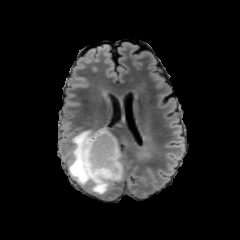
FLAIR magnetic resonance.
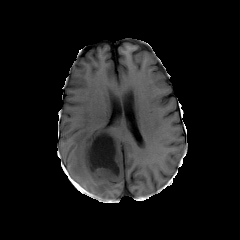
T1-weighted MR image.
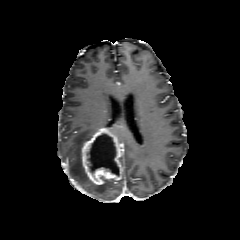
Same slice, post-contrast T1-weighted MR image.
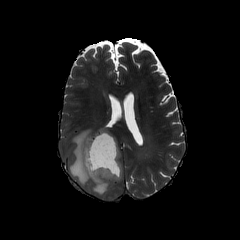
T2-weighted MR image.
Axial view
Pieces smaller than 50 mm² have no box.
Findings:
- enhancing tumor: <box>82,127,123,185</box>
- necrotic tumor core: <box>87,134,119,175</box>
- peritumoral edema: <box>68,129,114,194</box>